Axial plane. Image width 240 mm.
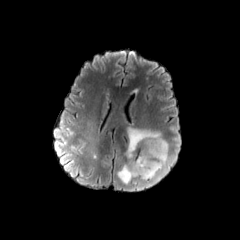
FLAIR magnetic resonance.
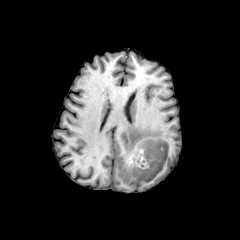
T1-weighted MR.
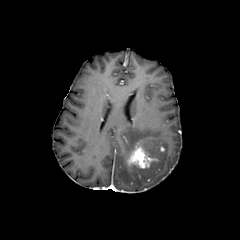
Post-contrast T1-weighted magnetic resonance.
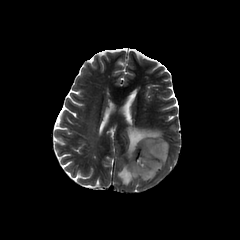
Same slice, T2-weighted MR image.
peritumoral edema — left=117, top=126, right=168, bottom=186
enhancing tumor — left=129, top=148, right=152, bottom=168